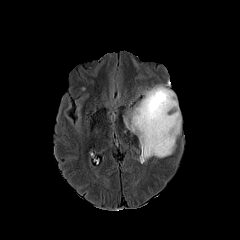
FLAIR MR image.
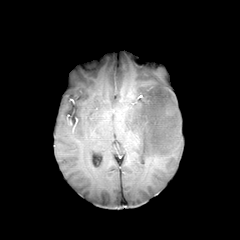
T1-weighted magnetic resonance.
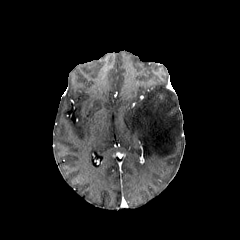
Post-contrast T1-weighted MR image.
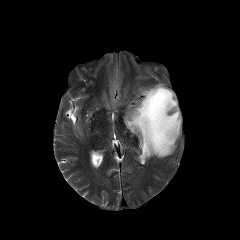
T2-weighted MR.
Axial plane; Image size 240x240; Head
peritumoral edema: bounding box x1=124 y1=84 x2=181 y2=160